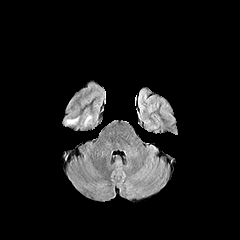
FLAIR magnetic resonance.
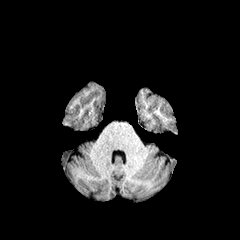
Same slice, T1-weighted magnetic resonance.
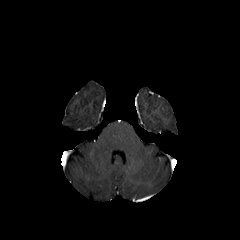
Post-contrast T1-weighted MR.
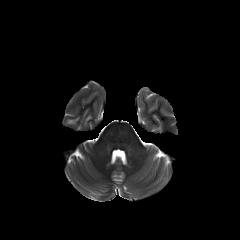
T2-weighted MRI.
Brain; Axial view; 240x240 px
peritumoral edema at 84:115:91:125, 65:117:78:124